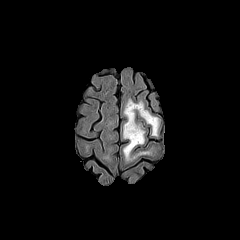
FLAIR MRI.
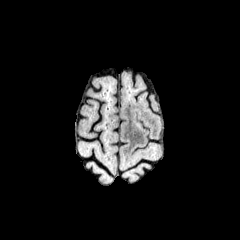
Same slice, T1-weighted MR.
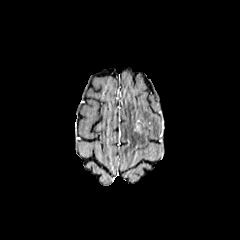
Post-contrast T1-weighted magnetic resonance of the same slice.
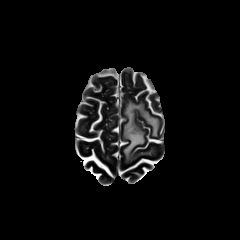
T2-weighted magnetic resonance.
Head; Axial slice; Image size 240x240
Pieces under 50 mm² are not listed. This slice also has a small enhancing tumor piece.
peritumoral edema: [123, 99, 158, 161]